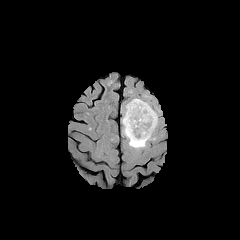
FLAIR MRI.
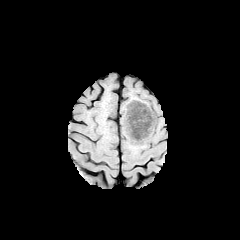
T1-weighted MRI.
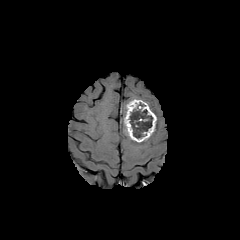
Post-contrast T1-weighted MR image.
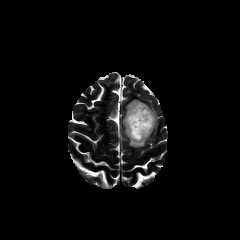
Same slice, T2-weighted MRI.
Head; Axial slice; Image size 240x240
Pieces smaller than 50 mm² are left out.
Findings:
- necrotic tumor core: {"x1": 130, "y1": 109, "x2": 152, "y2": 138}
- peritumoral edema: {"x1": 122, "y1": 105, "x2": 155, "y2": 148}, {"x1": 147, "y1": 103, "x2": 158, "y2": 127}
- enhancing tumor: {"x1": 124, "y1": 99, "x2": 156, "y2": 142}